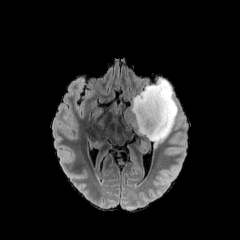
FLAIR magnetic resonance.
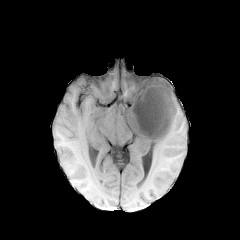
Same slice, T1-weighted MRI.
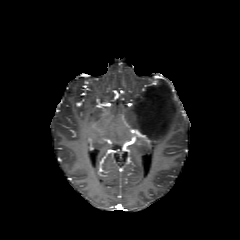
Post-contrast T1-weighted MRI.
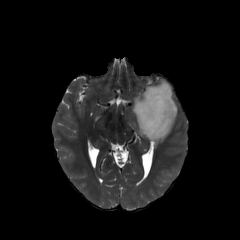
Same slice, T2-weighted MRI.
Brain
{"peritumoral_edema": ["124:79:177:145"]}